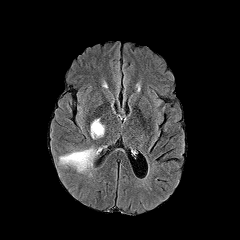
FLAIR MRI.
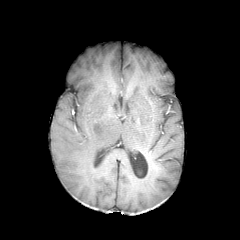
T1-weighted MR image.
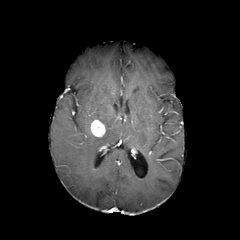
Post-contrast T1-weighted MR of the same slice.
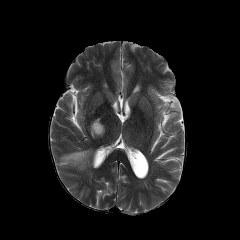
T2-weighted MR.
240x240 px; Head
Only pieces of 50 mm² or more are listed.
The largest peritumoral edema region is at left=59, top=148, right=98, bottom=172. The enhancing tumor appears at left=90, top=120, right=105, bottom=136.